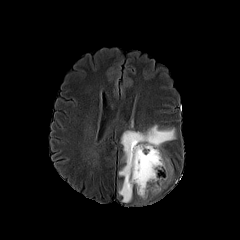
FLAIR MRI.
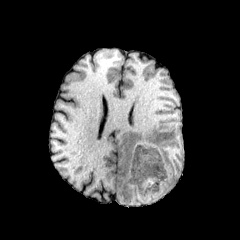
T1-weighted MR image of the same slice.
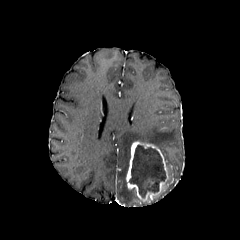
Same slice, post-contrast T1-weighted magnetic resonance.
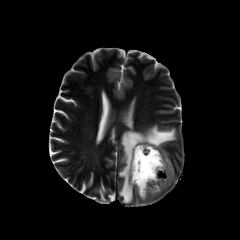
T2-weighted magnetic resonance of the same slice.
Head | Axial view
<segmentation>
  <enhancing_tumor>(x1=126, y1=141, x2=172, y2=201)</enhancing_tumor>
  <peritumoral_edema>(x1=165, y1=157, x2=173, y2=174), (x1=119, y1=125, x2=175, y2=202)</peritumoral_edema>
  <necrotic_tumor_core>(x1=129, y1=145, x2=165, y2=197)</necrotic_tumor_core>
</segmentation>